FLAIR MR image.
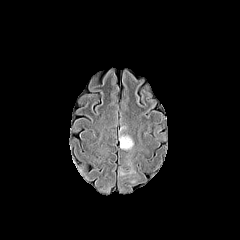
T1-weighted MR.
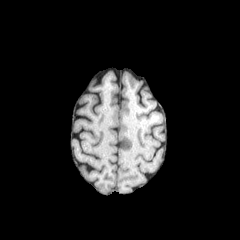
Post-contrast T1-weighted MR.
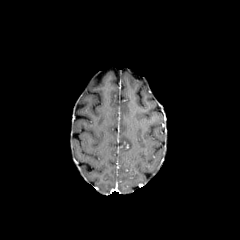
T2-weighted MR image.
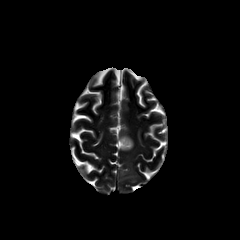
Head, Axial slice
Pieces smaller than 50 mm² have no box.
peritumoral_edema:
  - [119,134,133,150]
  - [119,169,134,175]